FLAIR MR.
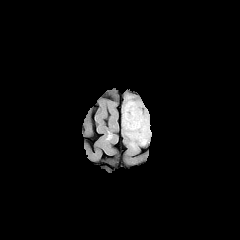
T1-weighted MR image.
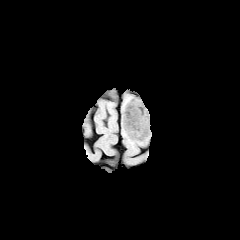
Post-contrast T1-weighted MRI.
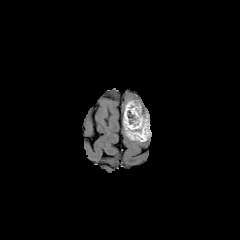
T2-weighted MR image.
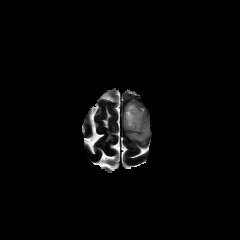
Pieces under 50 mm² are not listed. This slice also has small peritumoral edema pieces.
enhancing tumor: bounding box [123, 101, 150, 141]
necrotic tumor core: bounding box [127, 110, 135, 124]